FLAIR MR image.
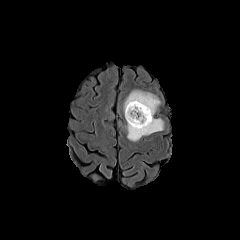
T1-weighted MR.
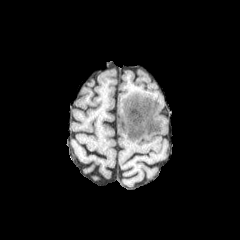
Post-contrast T1-weighted magnetic resonance.
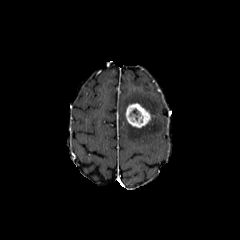
T2-weighted MRI.
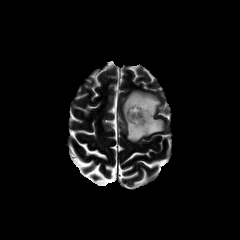
Brain | 240x240 px
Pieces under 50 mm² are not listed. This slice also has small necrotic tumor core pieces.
The enhancing tumor appears at [125,103,151,128]. The peritumoral edema is located at [123,90,163,141].